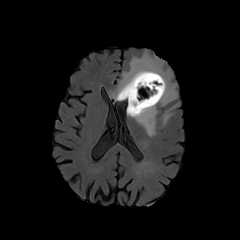
FLAIR magnetic resonance.
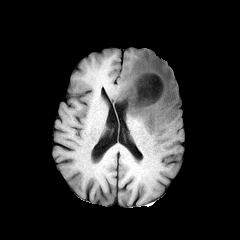
T1-weighted MRI.
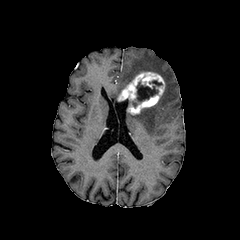
Post-contrast T1-weighted magnetic resonance of the same slice.
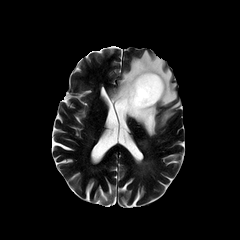
T2-weighted MR image.
Brain; 240x240 px
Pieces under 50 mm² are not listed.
peritumoral edema — (x1=161, y1=103, x2=179, y2=125), (x1=110, y1=50, x2=177, y2=136)
necrotic tumor core — (x1=136, y1=82, x2=158, y2=102)
enhancing tumor — (x1=117, y1=71, x2=165, y2=115)